Axial view
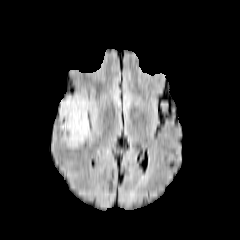
FLAIR magnetic resonance.
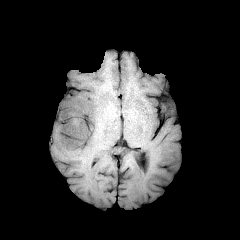
Same slice, T1-weighted MR image.
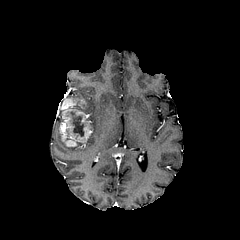
Post-contrast T1-weighted MR.
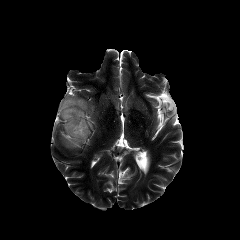
T2-weighted MR image.
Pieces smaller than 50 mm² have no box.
necrotic_tumor_core:
  - (70,112,83,136)
enhancing_tumor:
  - (59,97,91,146)
peritumoral_edema:
  - (74,99,89,113)